FLAIR magnetic resonance.
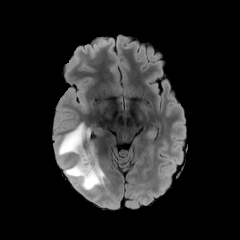
T1-weighted magnetic resonance.
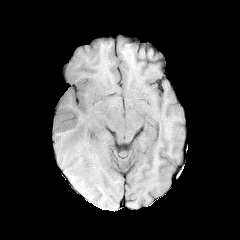
Post-contrast T1-weighted MR.
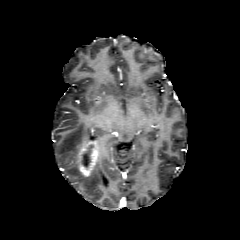
T2-weighted MR.
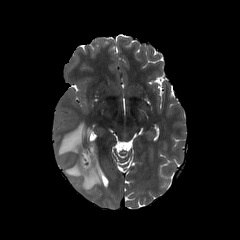
240x240; Brain
enhancing tumor: bounding box [x1=77, y1=141, x2=98, y2=177]
peritumoral edema: bounding box [x1=65, y1=159, x2=105, y2=192], [x1=57, y1=123, x2=90, y2=167]
necrotic tumor core: bounding box [x1=83, y1=146, x2=93, y2=166]